FLAIR MR.
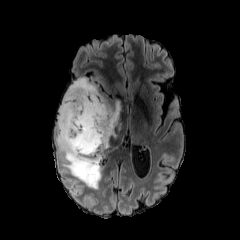
T1-weighted MR image.
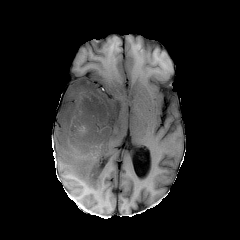
Post-contrast T1-weighted magnetic resonance.
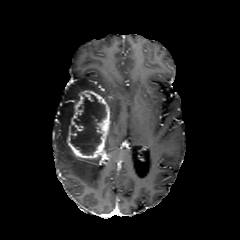
T2-weighted magnetic resonance.
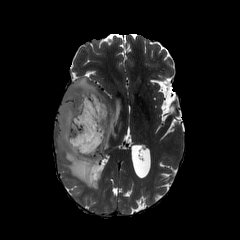
240x240; Axial slice
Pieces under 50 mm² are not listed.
The 2 largest peritumoral edema regions are located at (56, 78, 101, 189), (110, 101, 120, 136). The enhancing tumor appears at (67, 90, 112, 164). The necrotic tumor core is at (71, 94, 105, 154).